Slice index 72
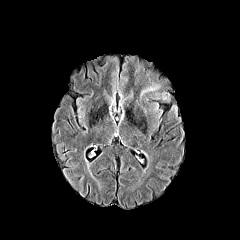
FLAIR MR image.
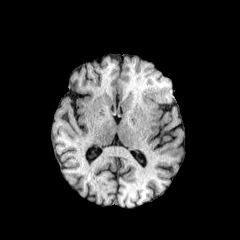
T1-weighted magnetic resonance.
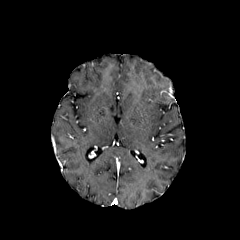
Same slice, post-contrast T1-weighted MRI.
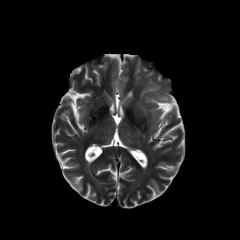
T2-weighted MR image.
The peritumoral edema appears at 140:85:158:96.